Image width 240 mm, 1.00 mm slice spacing. Axial view. Slice 48 of 155.
FLAIR MRI.
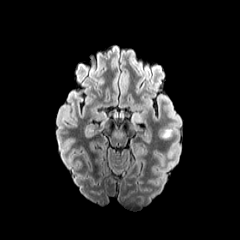
T1-weighted MR image.
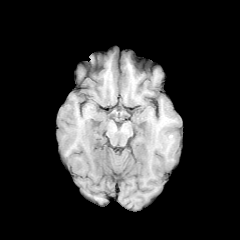
Post-contrast T1-weighted MRI.
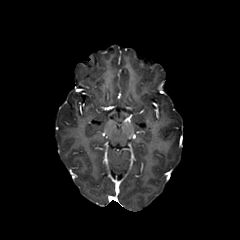
T2-weighted MR image.
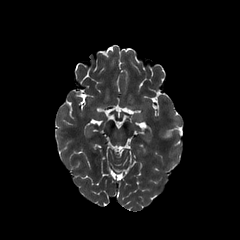
The peritumoral edema is at rect(161, 128, 173, 138).